FLAIR MR.
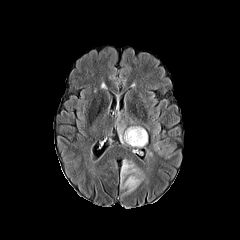
T1-weighted magnetic resonance.
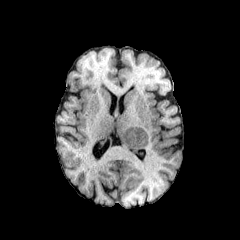
Post-contrast T1-weighted MRI.
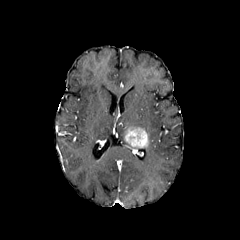
T2-weighted MR.
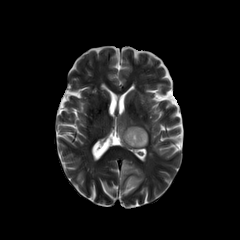
Brain | Axial plane
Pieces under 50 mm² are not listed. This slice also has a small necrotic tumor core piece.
peritumoral edema — x1=120, y1=159, x2=145, y2=196; x1=117, y1=126, x2=124, y2=144
enhancing tumor — x1=124, y1=127, x2=147, y2=147